Slice index 113, Image width 240 mm, 1.00 mm slice spacing, Axial slice, Brain
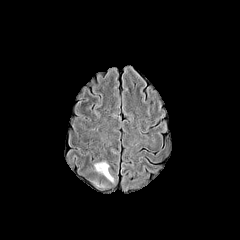
FLAIR MRI.
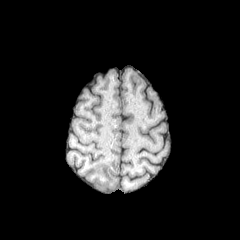
Same slice, T1-weighted MRI.
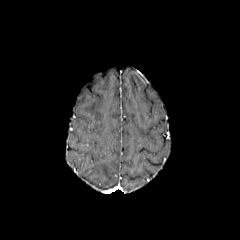
Post-contrast T1-weighted magnetic resonance.
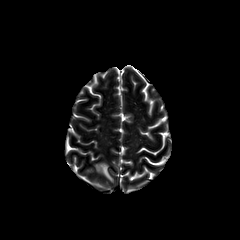
T2-weighted MR.
{
  "peritumoral_edema": [
    "x1=94, y1=162, x2=113, y2=182"
  ]
}